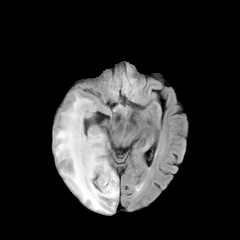
FLAIR MR image.
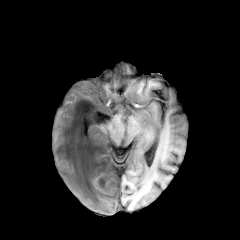
T1-weighted MR.
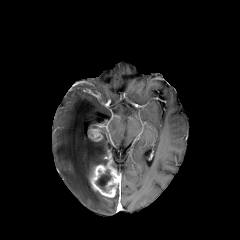
Post-contrast T1-weighted MRI.
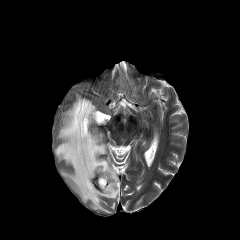
T2-weighted MRI.
240x240 | Axial slice
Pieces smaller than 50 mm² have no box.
Findings:
- necrotic tumor core: 96:171:111:190
- enhancing tumor: 89:150:120:197, 88:128:102:141
- peritumoral edema: 54:92:119:213